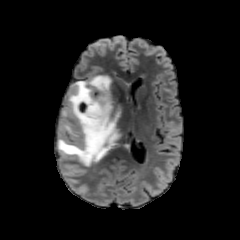
FLAIR MR image.
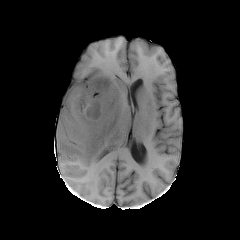
T1-weighted MRI of the same slice.
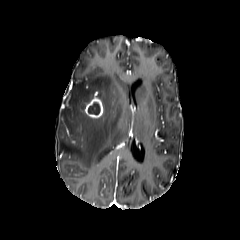
Post-contrast T1-weighted magnetic resonance.
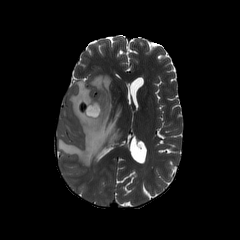
Same slice, T2-weighted MRI.
Axial slice.
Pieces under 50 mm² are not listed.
Findings:
• enhancing tumor: box(79, 97, 103, 118)
• necrotic tumor core: box(88, 102, 100, 114)
• peritumoral edema: box(58, 76, 121, 166); box(64, 122, 77, 136)